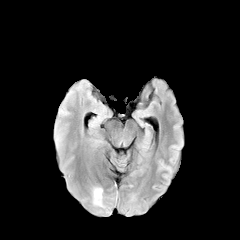
FLAIR magnetic resonance.
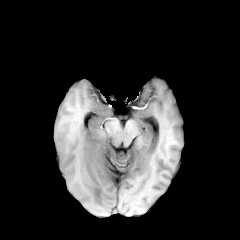
T1-weighted magnetic resonance of the same slice.
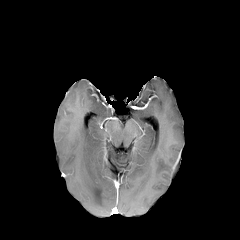
Post-contrast T1-weighted magnetic resonance.
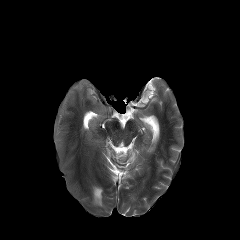
Same slice, T2-weighted MRI.
Head
peritumoral edema: bounding box {"x1": 93, "y1": 188, "x2": 102, "y2": 206}